FLAIR MRI.
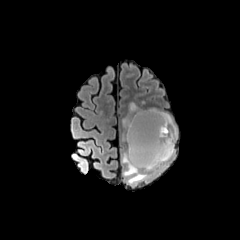
T1-weighted MRI.
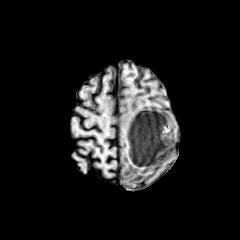
Post-contrast T1-weighted MRI.
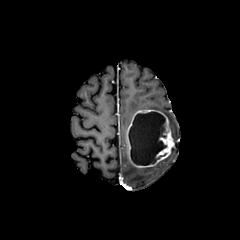
T2-weighted MR.
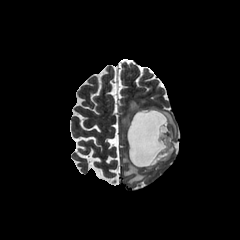
Brain. Image size 240x240. Axial view.
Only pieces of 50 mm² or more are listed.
necrotic tumor core: bounding box 129,112,166,165
enhancing tumor: bounding box 126,109,174,167
peritumoral edema: bounding box 121,102,138,140; 161,111,177,141; 122,148,174,185